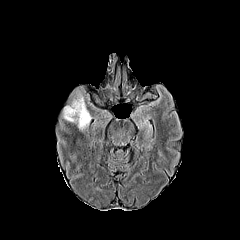
FLAIR MR image.
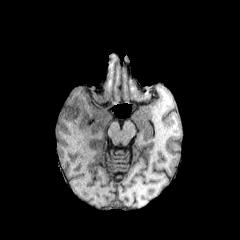
T1-weighted MR.
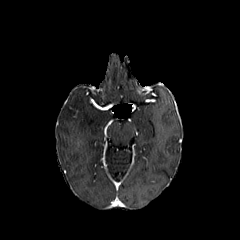
Post-contrast T1-weighted MRI.
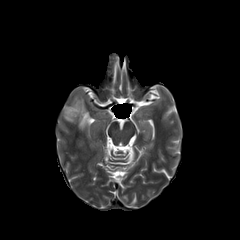
T2-weighted magnetic resonance.
Head, Image size 240x240
<segmentation>
  <peritumoral_edema><bbox>63, 95, 91, 130</bbox></peritumoral_edema>
</segmentation>